FLAIR MR.
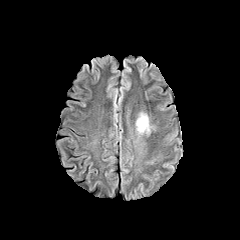
T1-weighted MR.
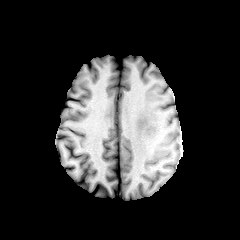
Post-contrast T1-weighted MRI.
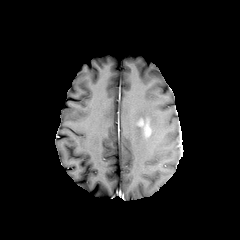
T2-weighted MRI.
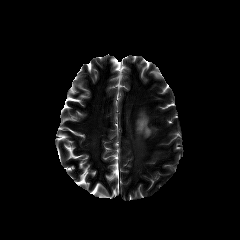
240x240; Axial plane
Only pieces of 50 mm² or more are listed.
enhancing tumor: [138,119,150,135]
peritumoral edema: [136,114,148,134]